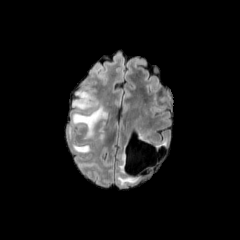
FLAIR MRI.
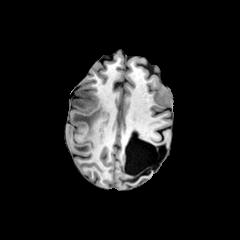
Same slice, T1-weighted MR.
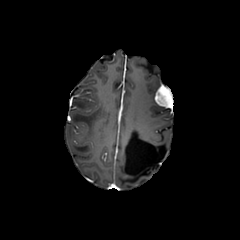
Post-contrast T1-weighted MR image.
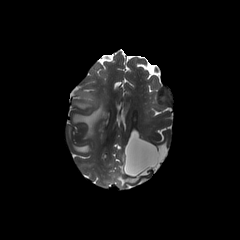
Same slice, T2-weighted MR.
Image size 240x240
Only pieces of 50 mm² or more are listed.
peritumoral edema: {"x1": 73, "y1": 145, "x2": 89, "y2": 152}, {"x1": 72, "y1": 90, "x2": 106, "y2": 138}